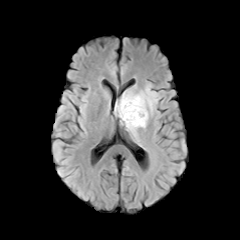
FLAIR MR image.
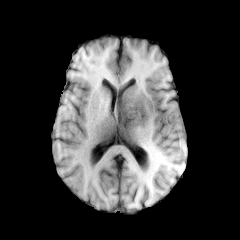
T1-weighted MR.
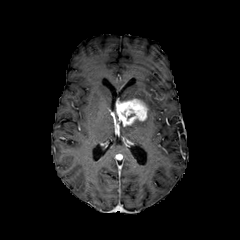
Same slice, post-contrast T1-weighted MRI.
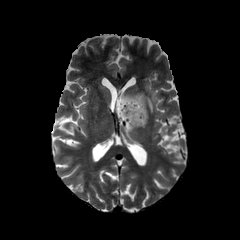
Same slice, T2-weighted magnetic resonance.
Brain
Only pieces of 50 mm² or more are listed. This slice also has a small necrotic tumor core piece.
peritumoral edema = 119 85 157 135
enhancing tumor = 116 98 147 126